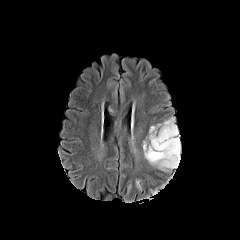
FLAIR MR image.
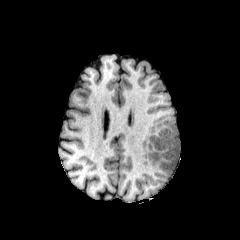
Same slice, T1-weighted MR.
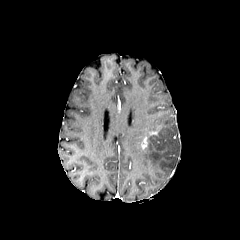
Post-contrast T1-weighted MRI of the same slice.
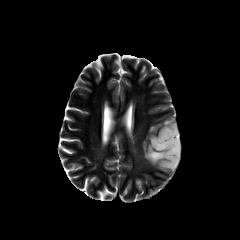
T2-weighted MR image of the same slice.
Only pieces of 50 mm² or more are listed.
The largest enhancing tumor region appears at [x1=148, y1=126, x2=160, y2=134]. The 2 largest peritumoral edema regions appear at [x1=143, y1=117, x2=180, y2=171], [x1=135, y1=179, x2=142, y2=190].